Image size 240x240 | Slice 88/155
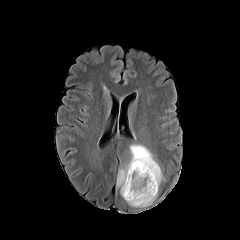
FLAIR MR image.
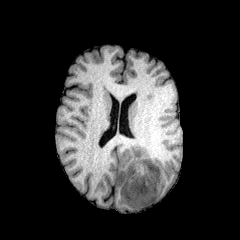
T1-weighted magnetic resonance.
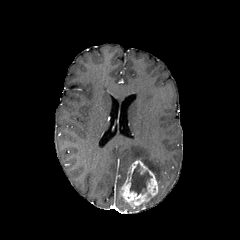
Post-contrast T1-weighted MR image.
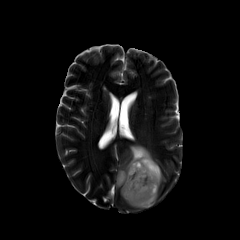
T2-weighted MR image of the same slice.
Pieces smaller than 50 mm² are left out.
The enhancing tumor is bounded by 120, 160, 158, 208. The largest necrotic tumor core region appears at 130, 163, 152, 195. The largest peritumoral edema region appears at 116, 144, 165, 187.